FLAIR magnetic resonance.
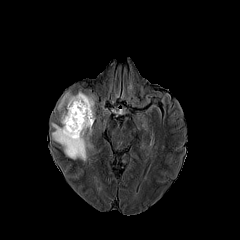
T1-weighted magnetic resonance.
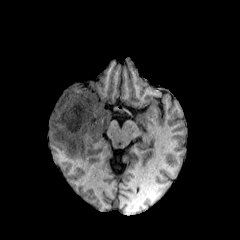
Post-contrast T1-weighted MR image.
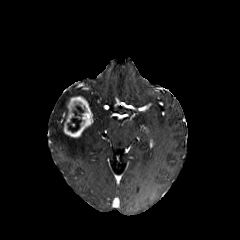
T2-weighted magnetic resonance.
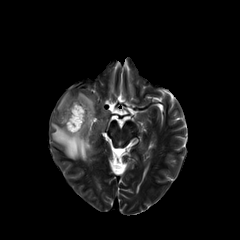
Axial slice. 240x240.
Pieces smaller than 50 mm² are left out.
Segmented structures:
- enhancing tumor: (x1=63, y1=96, x2=93, y2=137)
- peritumoral edema: (x1=76, y1=91, x2=95, y2=118), (x1=57, y1=91, x2=74, y2=116), (x1=51, y1=122, x2=92, y2=161)
- necrotic tumor core: (x1=67, y1=105, x2=84, y2=132)